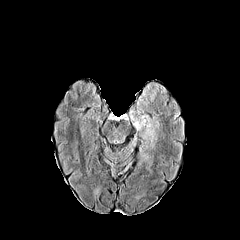
FLAIR MR.
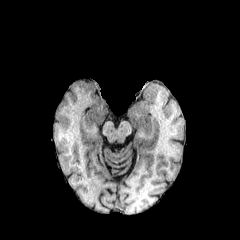
T1-weighted MR.
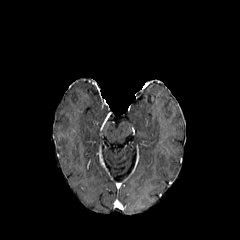
Post-contrast T1-weighted MR image.
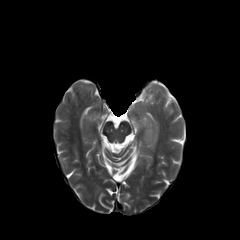
T2-weighted magnetic resonance.
240x240 | Brain | Axial plane
peritumoral edema: [x1=133, y1=114, x2=154, y2=137]